FLAIR magnetic resonance.
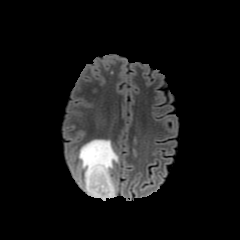
T1-weighted MR.
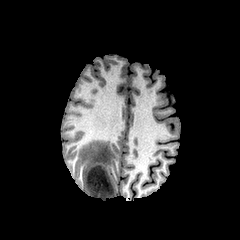
Post-contrast T1-weighted MR image.
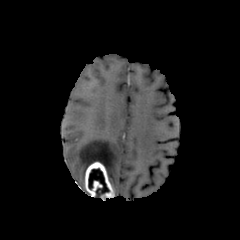
T2-weighted MR.
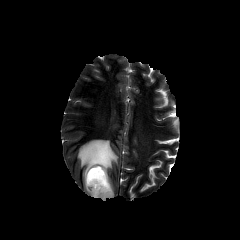
Head; Axial plane
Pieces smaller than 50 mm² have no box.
peritumoral edema — [78,139,118,196]
necrotic tumor core — [88,168,109,197]
enhancing tumor — [85,161,114,200]